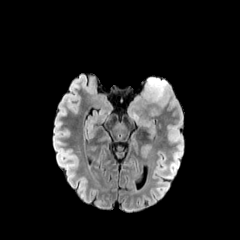
FLAIR MR.
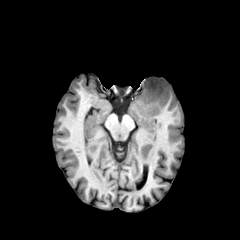
Same slice, T1-weighted MR.
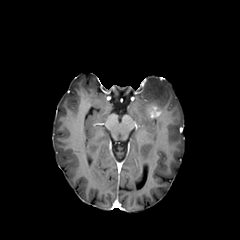
Post-contrast T1-weighted MR image.
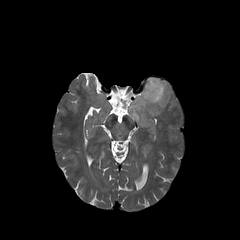
T2-weighted magnetic resonance of the same slice.
enhancing tumor at [147,105,161,117]
peritumoral edema at [128,77,169,123]